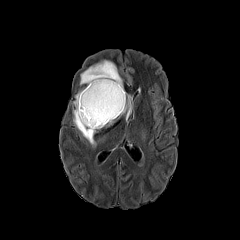
FLAIR MRI.
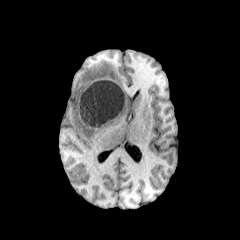
T1-weighted MR image of the same slice.
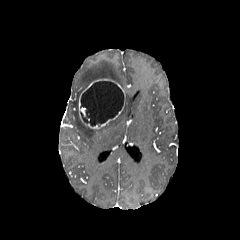
Post-contrast T1-weighted magnetic resonance.
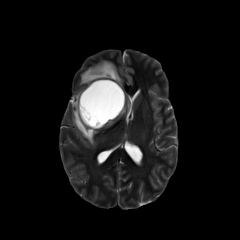
T2-weighted MR image of the same slice.
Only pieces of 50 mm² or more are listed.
<segmentation>
  <peritumoral_edema><bbox>73, 90, 97, 146</bbox>, <bbox>118, 93, 132, 119</bbox>, <bbox>80, 60, 123, 88</bbox></peritumoral_edema>
  <necrotic_tumor_core><bbox>80, 81, 124, 126</bbox></necrotic_tumor_core>
  <enhancing_tumor><bbox>78, 78, 125, 128</bbox></enhancing_tumor>
</segmentation>